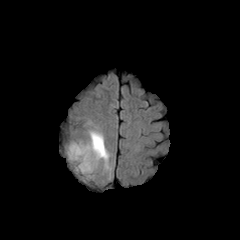
FLAIR MR image.
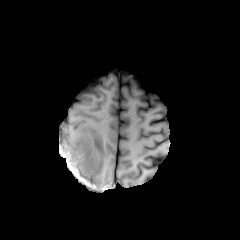
T1-weighted MRI.
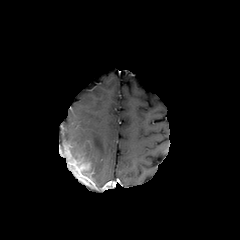
Post-contrast T1-weighted MR image.
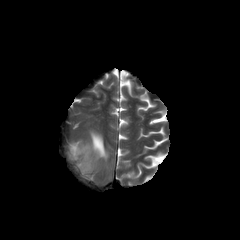
Same slice, T2-weighted MR image.
Head.
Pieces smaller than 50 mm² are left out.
{"peritumoral_edema": ["69:130:109:171"], "enhancing_tumor": ["65:144:94:182"]}